240x240. Axial plane. Head.
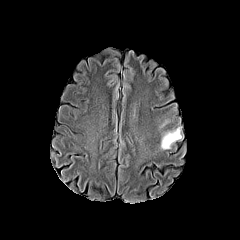
FLAIR MR.
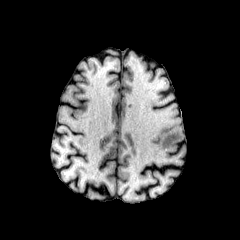
T1-weighted MRI of the same slice.
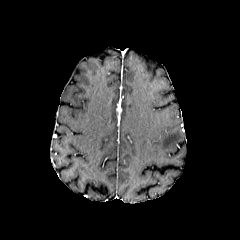
Post-contrast T1-weighted MRI.
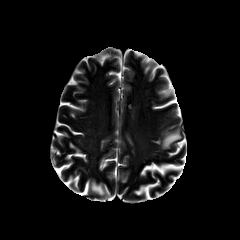
Same slice, T2-weighted MRI.
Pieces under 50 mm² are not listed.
The largest peritumoral edema region is bounded by x1=161, y1=127, x2=181, y2=149.